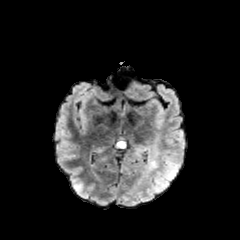
FLAIR MRI.
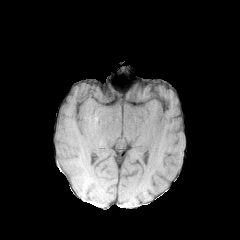
T1-weighted magnetic resonance.
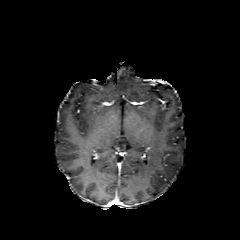
Post-contrast T1-weighted magnetic resonance of the same slice.
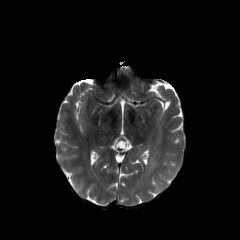
Same slice, T2-weighted MR.
Brain, 240x240 px
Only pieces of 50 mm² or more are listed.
Findings:
- peritumoral edema: box(141, 159, 178, 201)